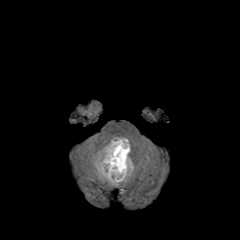
FLAIR MR.
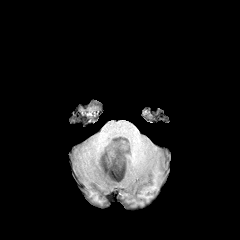
T1-weighted MR image.
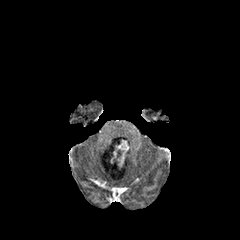
Post-contrast T1-weighted MRI.
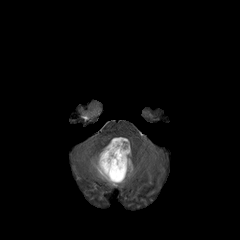
Same slice, T2-weighted magnetic resonance.
Axial plane, 240x240 px
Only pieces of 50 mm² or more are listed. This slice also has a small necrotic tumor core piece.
enhancing tumor = (102, 139, 129, 180)
peritumoral edema = (93, 137, 133, 185)